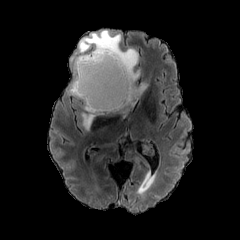
FLAIR magnetic resonance.
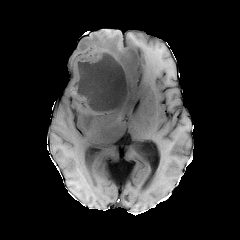
T1-weighted MRI.
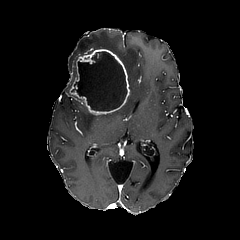
Post-contrast T1-weighted magnetic resonance of the same slice.
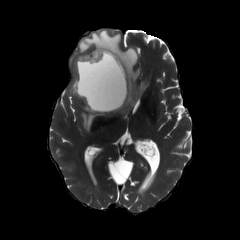
T2-weighted magnetic resonance.
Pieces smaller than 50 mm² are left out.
Segmented structures:
- peritumoral edema: left=70, top=29, right=147, bottom=116; left=81, top=105, right=96, bottom=130
- enhancing tumor: left=69, top=48, right=130, bottom=115
- necrotic tumor core: left=75, top=51, right=126, bottom=110